FLAIR MR.
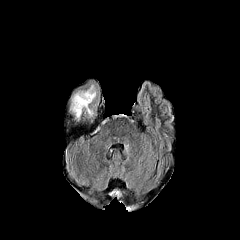
T1-weighted MR image.
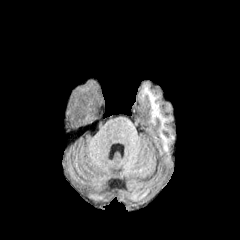
Post-contrast T1-weighted MR.
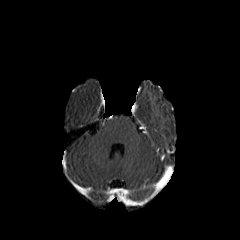
T2-weighted MR image.
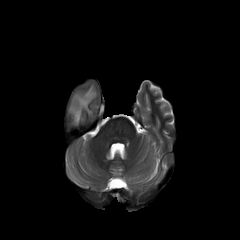
240x240
<segmentation>
  <peritumoral_edema>[70, 85, 96, 121]</peritumoral_edema>
</segmentation>